Slice 121/155 | Head | Axial plane
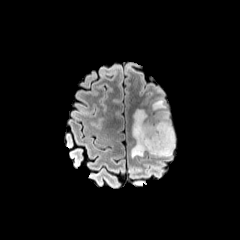
FLAIR MR.
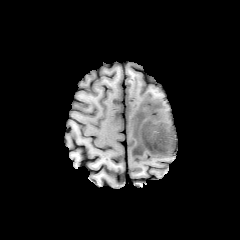
Same slice, T1-weighted MR.
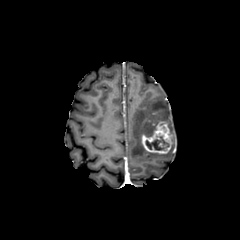
Same slice, post-contrast T1-weighted MR.
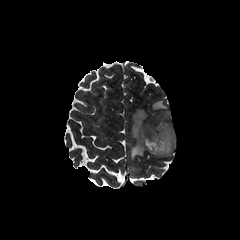
T2-weighted MR.
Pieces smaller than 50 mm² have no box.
<segmentation>
  <peritumoral_edema>region(131, 99, 175, 158)</peritumoral_edema>
  <enhancing_tumor>region(141, 121, 173, 153)</enhancing_tumor>
  <necrotic_tumor_core>region(146, 136, 168, 150)</necrotic_tumor_core>
</segmentation>